FLAIR MR image.
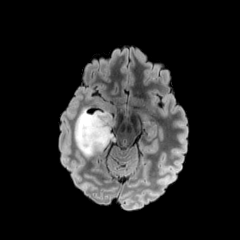
T1-weighted magnetic resonance.
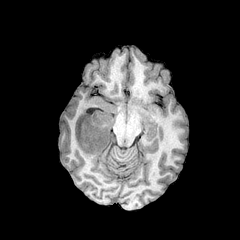
Post-contrast T1-weighted magnetic resonance.
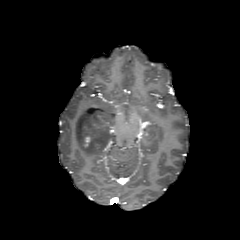
T2-weighted magnetic resonance.
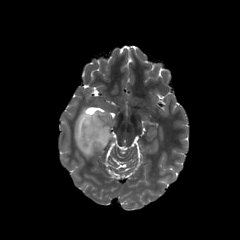
Head | Image size 240x240
enhancing_tumor:
  - <box>84,136,91,147</box>
peritumoral_edema:
  - <box>75,100,117,157</box>